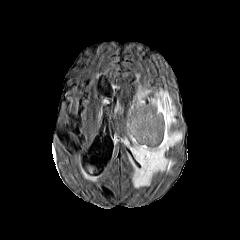
FLAIR magnetic resonance.
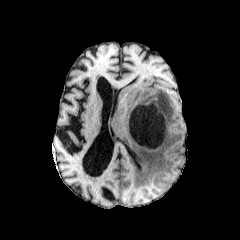
T1-weighted MR image.
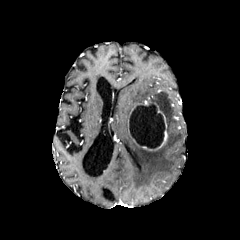
Post-contrast T1-weighted MR.
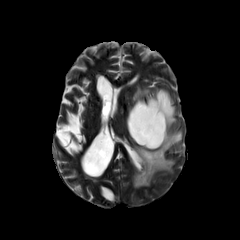
T2-weighted MR.
240x240
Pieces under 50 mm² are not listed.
{"peritumoral_edema": ["122, 90, 182, 187", "128, 86, 150, 118"], "enhancing_tumor": ["132, 103, 167, 150", "130, 101, 151, 114"], "necrotic_tumor_core": ["129, 102, 165, 148"]}